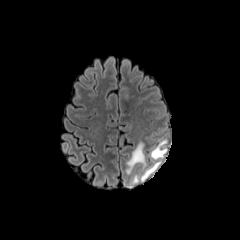
FLAIR MR.
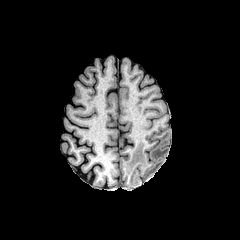
T1-weighted magnetic resonance.
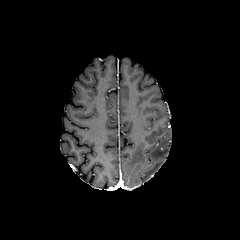
Post-contrast T1-weighted MRI.
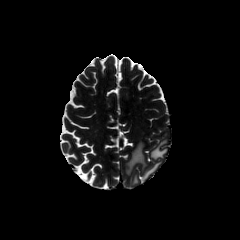
T2-weighted MR.
240x240; Brain
peritumoral edema: l=133, t=139, r=167, b=183; l=126, t=142, r=146, b=173